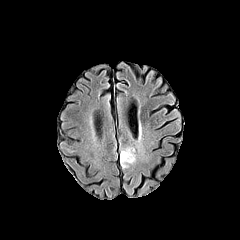
FLAIR MRI.
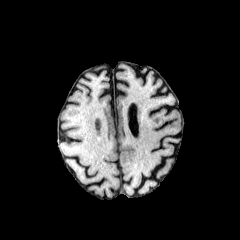
T1-weighted MRI.
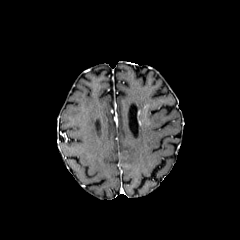
Post-contrast T1-weighted MRI of the same slice.
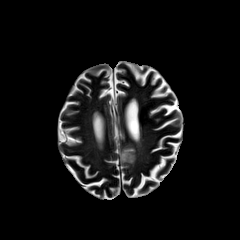
T2-weighted MR.
Axial plane. Head.
The peritumoral edema is at left=120, top=147, right=135, bottom=168.